Axial plane
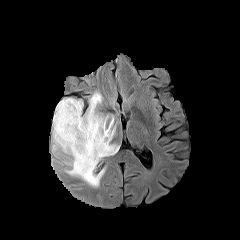
FLAIR magnetic resonance.
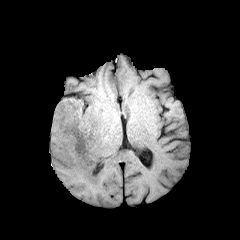
T1-weighted MRI of the same slice.
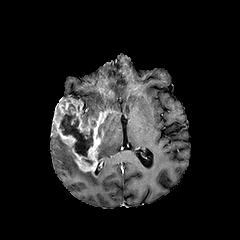
Post-contrast T1-weighted MR.
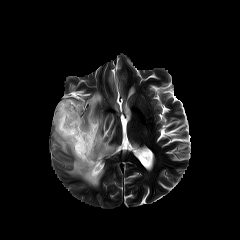
Same slice, T2-weighted MRI.
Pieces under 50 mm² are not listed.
enhancing_tumor:
  - box=[53, 97, 106, 174]
peritumoral_edema:
  - box=[81, 92, 102, 125]
  - box=[52, 135, 104, 186]
  - box=[98, 115, 119, 160]
necrotic_tumor_core:
  - box=[59, 104, 92, 156]